FLAIR MR.
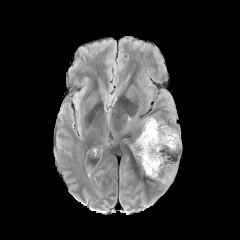
T1-weighted magnetic resonance.
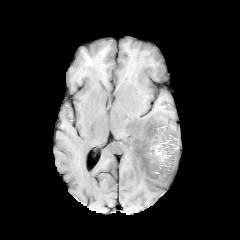
Post-contrast T1-weighted MRI.
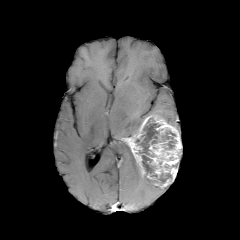
T2-weighted MRI.
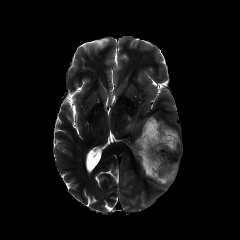
Brain; Axial plane
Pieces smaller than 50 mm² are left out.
{
  "necrotic_tumor_core": [
    "(136, 118, 160, 156)",
    "(142, 155, 154, 176)",
    "(161, 131, 175, 149)",
    "(158, 173, 171, 182)"
  ],
  "enhancing_tumor": [
    "(127, 116, 181, 187)"
  ]
}